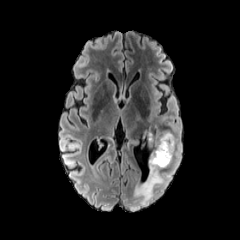
FLAIR MRI.
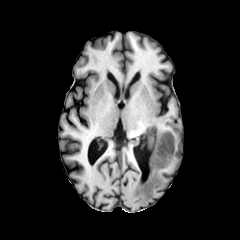
Same slice, T1-weighted MR image.
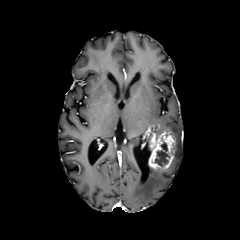
Post-contrast T1-weighted MR image of the same slice.
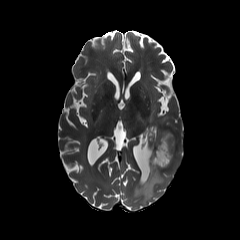
T2-weighted MRI of the same slice.
Brain.
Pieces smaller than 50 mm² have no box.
The enhancing tumor lies within bbox=[146, 124, 174, 169]. The necrotic tumor core is bounded by bbox=[154, 142, 169, 166]. The 2 largest peritumoral edema regions are bounded by bbox=[156, 130, 180, 157]; bbox=[133, 169, 163, 203].